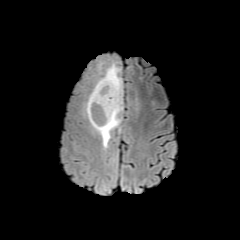
FLAIR MR image.
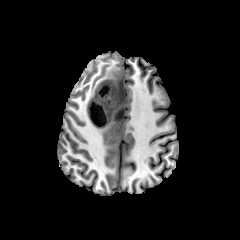
T1-weighted magnetic resonance.
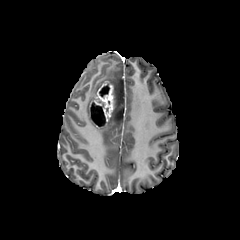
Post-contrast T1-weighted MR.
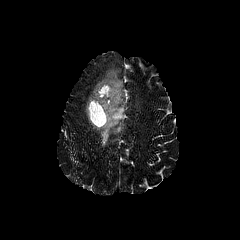
T2-weighted MR.
Head.
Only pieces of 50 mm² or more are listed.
{"enhancing_tumor": ["89,81,114,127"], "peritumoral_edema": ["85,62,123,148"], "necrotic_tumor_core": ["99,83,109,97", "91,99,105,125"]}